FLAIR magnetic resonance.
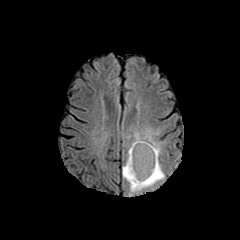
T1-weighted MR image.
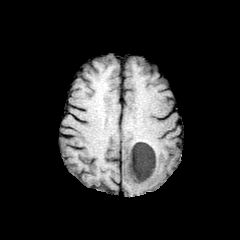
Post-contrast T1-weighted MR image.
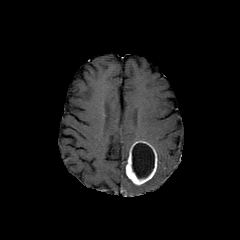
T2-weighted magnetic resonance.
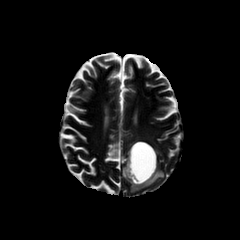
Axial slice; 240x240 px
peritumoral edema: <box>122,128,164,194</box>
necrotic tumor core: <box>132,143,154,178</box>
enhancing tumor: <box>125,140,157,185</box>